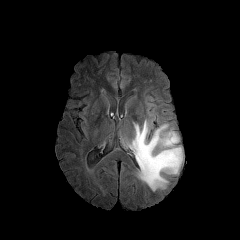
FLAIR MRI.
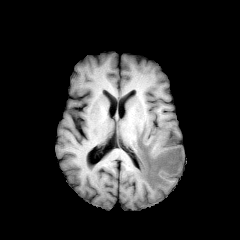
T1-weighted magnetic resonance.
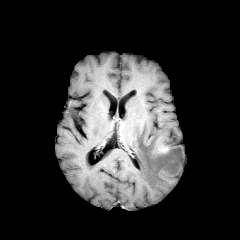
Post-contrast T1-weighted magnetic resonance.
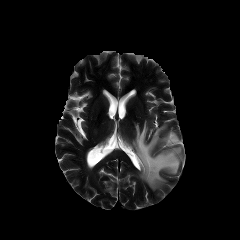
T2-weighted MRI.
enhancing tumor at (159, 145, 168, 152)
peritumoral edema at (128, 120, 183, 190)